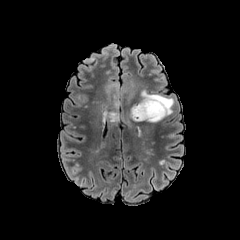
FLAIR MRI.
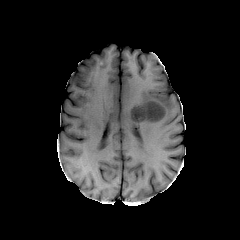
Same slice, T1-weighted MR image.
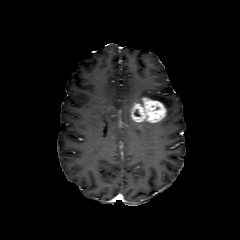
Same slice, post-contrast T1-weighted magnetic resonance.
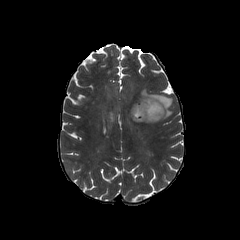
Same slice, T2-weighted MRI.
240x240 px
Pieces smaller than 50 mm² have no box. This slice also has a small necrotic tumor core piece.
peritumoral edema: bbox=[108, 109, 130, 121]; bbox=[137, 89, 173, 117]
enhancing tumor: bbox=[131, 97, 166, 122]